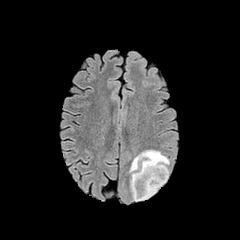
FLAIR magnetic resonance.
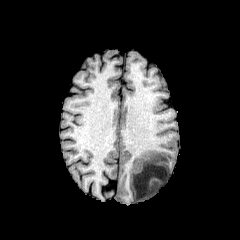
Same slice, T1-weighted MR.
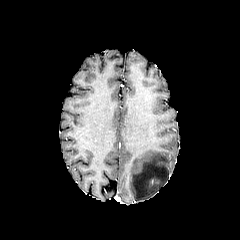
Post-contrast T1-weighted magnetic resonance.
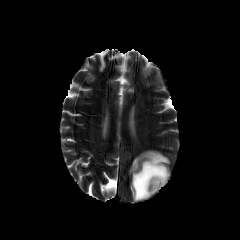
T2-weighted MR.
Axial plane | Head
{"peritumoral_edema": ["129:150:169:200"]}